FLAIR MRI.
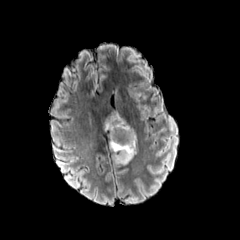
T1-weighted magnetic resonance.
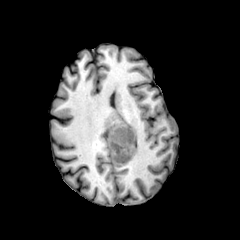
Post-contrast T1-weighted MR image.
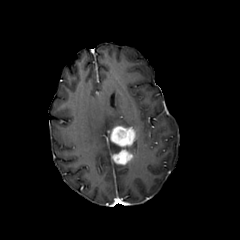
T2-weighted MRI.
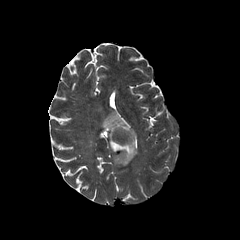
Brain. 240x240.
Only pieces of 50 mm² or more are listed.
The enhancing tumor is bounded by 109, 124, 136, 165. The 2 largest peritumoral edema regions appear at 108, 133, 120, 153; 104, 114, 131, 130.